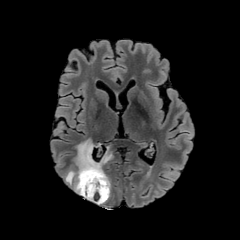
FLAIR MR image.
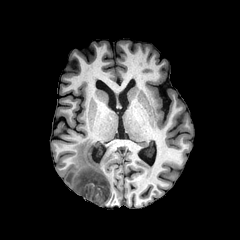
Same slice, T1-weighted MRI.
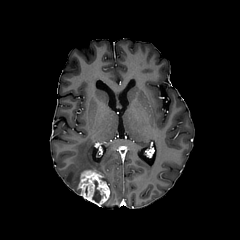
Post-contrast T1-weighted MRI.
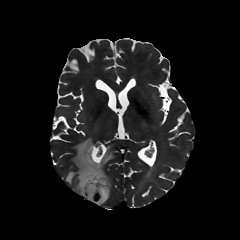
T2-weighted MR image.
240x240 px, Axial view
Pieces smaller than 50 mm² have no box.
Findings:
• peritumoral edema: l=64, t=139, r=113, b=195
• necrotic tumor core: l=92, t=181, r=101, b=202
• enhancing tumor: l=77, t=169, r=109, b=205